FLAIR MRI.
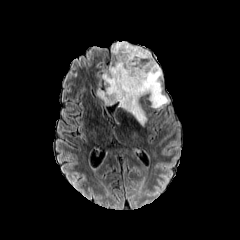
T1-weighted magnetic resonance.
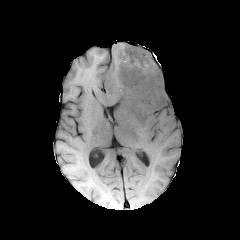
Post-contrast T1-weighted MRI.
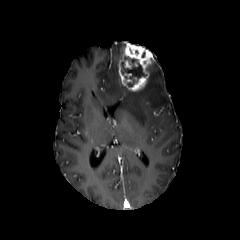
T2-weighted MRI.
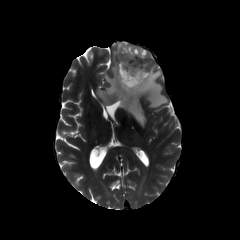
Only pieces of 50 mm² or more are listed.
The enhancing tumor is located at (118,41,153,91). The peritumoral edema lies within (97,41,169,125). The largest necrotic tumor core region is located at (121,56,145,77).